FLAIR MR.
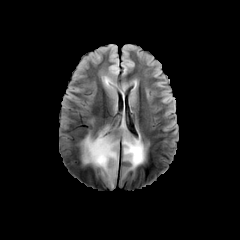
T1-weighted MRI.
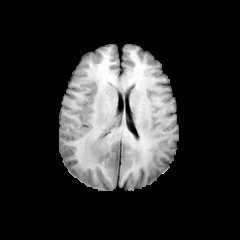
Post-contrast T1-weighted MR image.
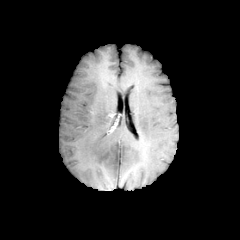
T2-weighted MRI.
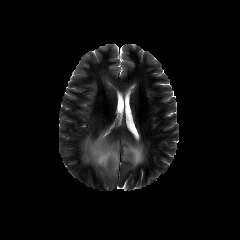
Brain
peritumoral edema at box=[81, 127, 118, 177]; box=[122, 138, 145, 168]